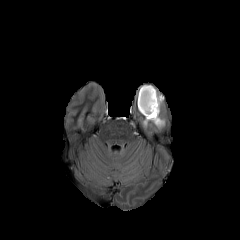
FLAIR MR.
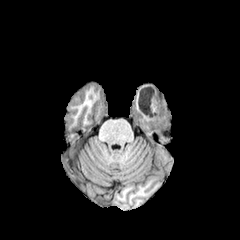
Same slice, T1-weighted magnetic resonance.
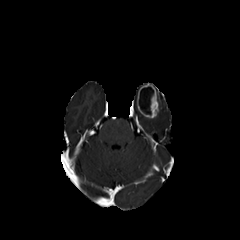
Post-contrast T1-weighted MR.
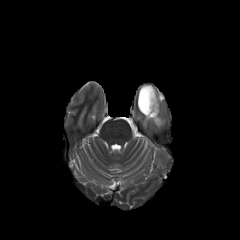
T2-weighted magnetic resonance.
Axial slice | 240x240
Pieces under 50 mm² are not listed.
{
  "peritumoral_edema": [
    "(142,92,165,129)"
  ],
  "necrotic_tumor_core": [
    "(139,87,153,114)"
  ],
  "enhancing_tumor": [
    "(137,83,160,118)"
  ]
}